Slice 41/155; Axial view; Head; Image covers 240 mm x 240 mm
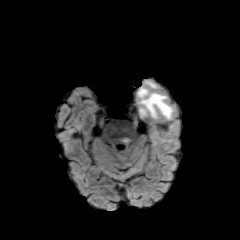
FLAIR MR image.
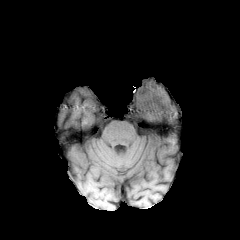
T1-weighted magnetic resonance.
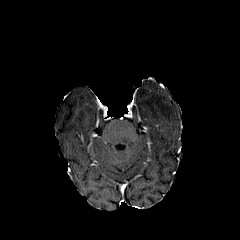
Same slice, post-contrast T1-weighted MRI.
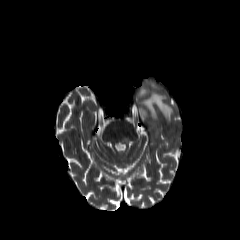
T2-weighted MR of the same slice.
peritumoral_edema:
  - 136:80:173:120
  - 121:137:130:146
  - 149:127:158:140